FLAIR MR image.
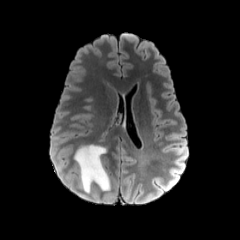
T1-weighted MR.
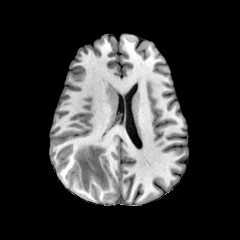
Post-contrast T1-weighted MR.
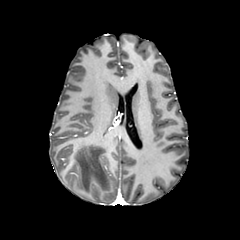
T2-weighted MRI.
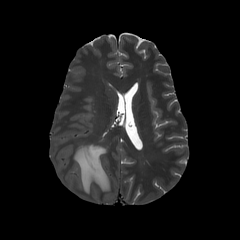
Axial plane
peritumoral edema: {"x1": 74, "y1": 145, "x2": 110, "y2": 192}